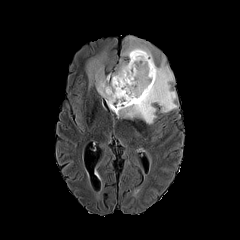
FLAIR MR image.
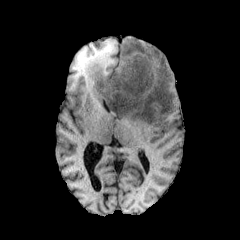
T1-weighted MRI.
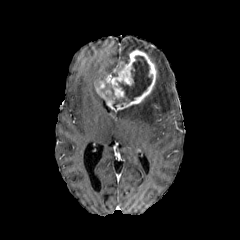
Post-contrast T1-weighted MR image.
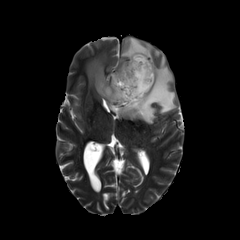
T2-weighted magnetic resonance of the same slice.
Axial slice
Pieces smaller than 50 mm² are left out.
The 3 largest peritumoral edema regions appear at (121, 35, 153, 62), (116, 54, 177, 124), (84, 48, 106, 90). The largest necrotic tumor core region is at (112, 55, 152, 108). The largest enhancing tumor region appears at (95, 49, 157, 112).